Axial slice. Slice 76 of 155.
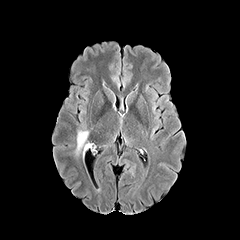
FLAIR magnetic resonance.
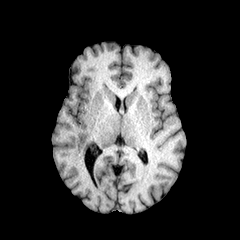
Same slice, T1-weighted magnetic resonance.
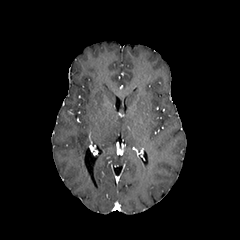
Same slice, post-contrast T1-weighted MR image.
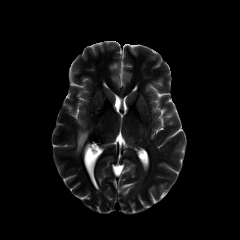
T2-weighted magnetic resonance.
peritumoral_edema:
  - [76,130,89,154]